Head; Slice 70 of 155
FLAIR MR image.
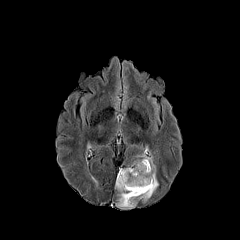
T1-weighted MR image.
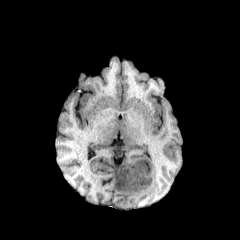
Post-contrast T1-weighted MR.
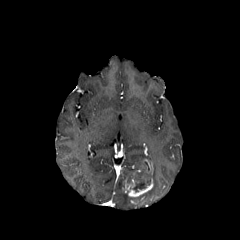
T2-weighted MRI.
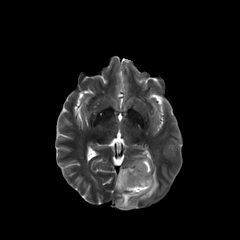
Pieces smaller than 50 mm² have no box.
- necrotic tumor core: 133 179 150 191
- peritumoral edema: 115 154 158 208
- enhancing tumor: 122 159 153 197